FLAIR MR image.
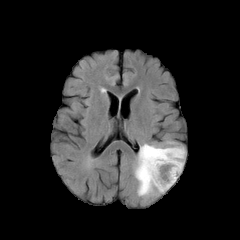
T1-weighted MR.
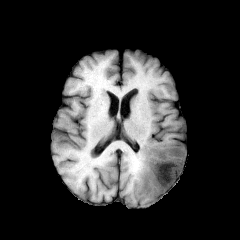
Post-contrast T1-weighted MR.
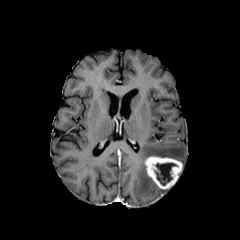
T2-weighted MR.
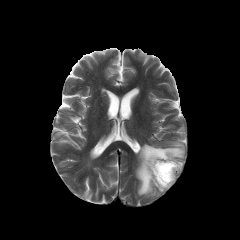
240x240.
{"necrotic_tumor_core": ["box=[155, 163, 176, 185]"], "peritumoral_edema": ["box=[135, 141, 185, 196]"], "enhancing_tumor": ["box=[144, 156, 182, 189]"]}